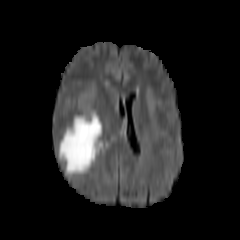
FLAIR magnetic resonance.
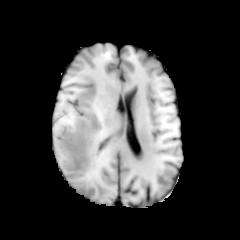
Same slice, T1-weighted MR image.
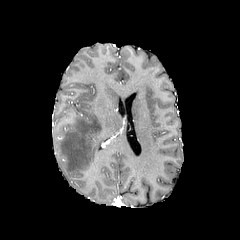
Post-contrast T1-weighted MR.
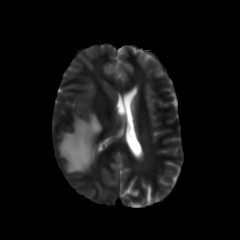
T2-weighted MR image.
Head.
{"peritumoral_edema": ["58:111:101:174"]}